Image width 240 mm, Head
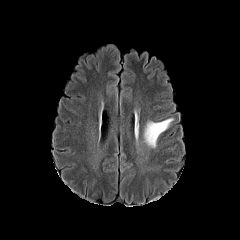
FLAIR MRI.
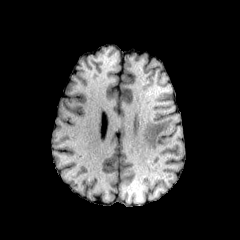
T1-weighted MR.
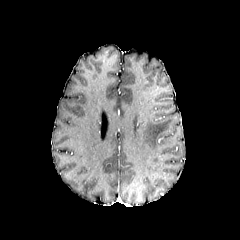
Same slice, post-contrast T1-weighted MR image.
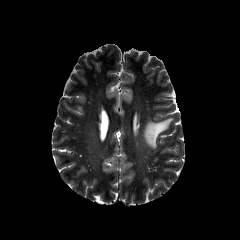
T2-weighted MRI.
The peritumoral edema is bounded by box=[143, 118, 173, 148].